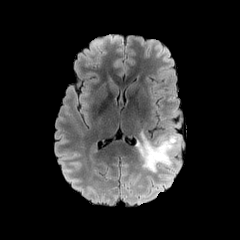
FLAIR MR image.
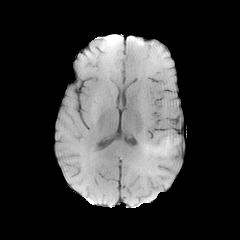
T1-weighted magnetic resonance.
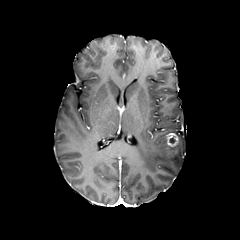
Same slice, post-contrast T1-weighted MR image.
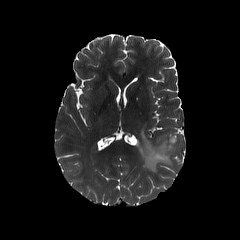
T2-weighted MRI of the same slice.
Head
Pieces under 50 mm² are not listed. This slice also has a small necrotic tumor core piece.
peritumoral edema: bounding box 136 131 181 172
enhancing tumor: bounding box 166 133 178 148